FLAIR MRI.
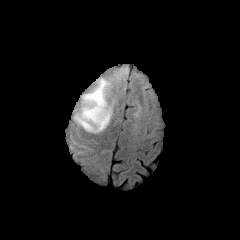
T1-weighted magnetic resonance.
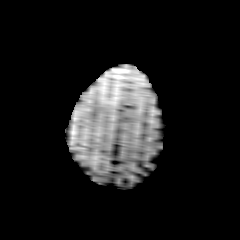
Post-contrast T1-weighted MR.
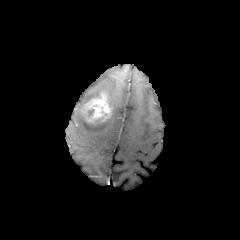
T2-weighted MR image.
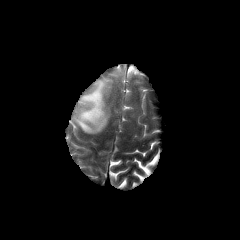
Axial slice. 240x240 px.
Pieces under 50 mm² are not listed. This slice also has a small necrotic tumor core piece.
The enhancing tumor is at rect(84, 94, 110, 122). The peritumoral edema is bounded by rect(73, 78, 112, 132).